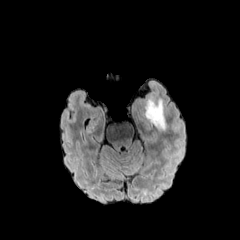
FLAIR MR.
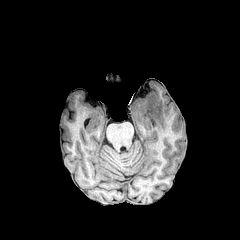
Same slice, T1-weighted MR.
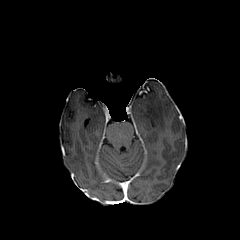
Same slice, post-contrast T1-weighted magnetic resonance.
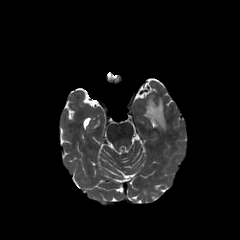
Same slice, T2-weighted magnetic resonance.
Axial slice
The peritumoral edema is at rect(145, 97, 165, 130).